FLAIR MR.
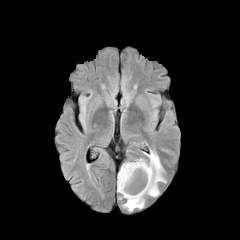
T1-weighted MRI.
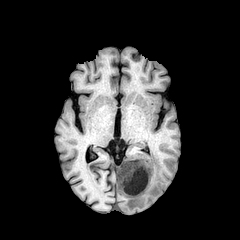
Post-contrast T1-weighted MR.
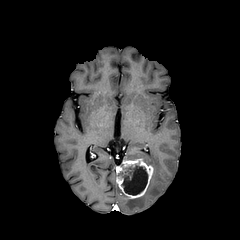
T2-weighted MR image.
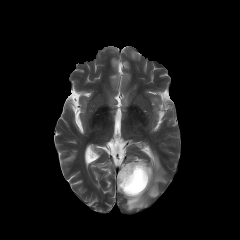
Brain. 240x240. Axial plane.
necrotic tumor core at 119 165 147 195
enhancing tumor at 116 159 153 198
peritumoral edema at 117 151 166 211